Brain, 240x240, Slice 36 of 155, Image covers 240 mm x 240 mm
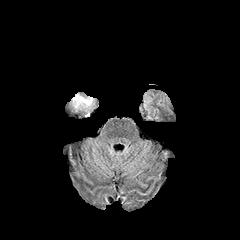
FLAIR MRI.
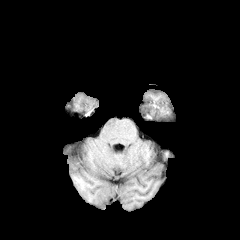
T1-weighted MRI.
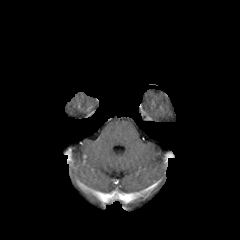
Post-contrast T1-weighted MRI of the same slice.
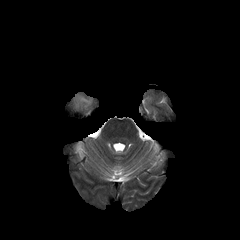
T2-weighted MR.
peritumoral edema at box(74, 95, 91, 105)